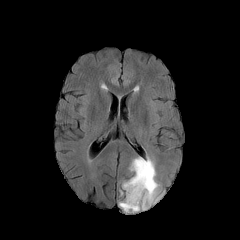
FLAIR MR.
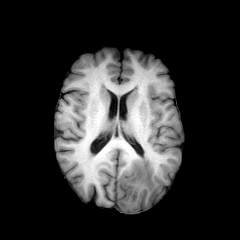
T1-weighted MRI.
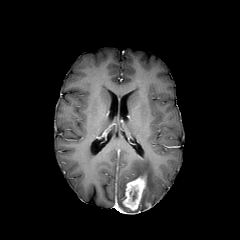
Post-contrast T1-weighted MRI.
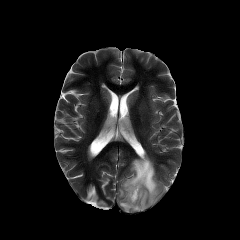
T2-weighted MRI.
240x240, Axial slice, Head
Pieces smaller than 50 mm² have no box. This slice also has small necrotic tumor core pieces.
The enhancing tumor is located at 122, 175, 146, 211. The 2 largest peritumoral edema regions are bounded by 119, 202, 132, 212; 122, 156, 162, 211.